Image covers 240 mm x 240 mm, Head, Axial view
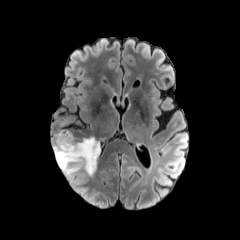
FLAIR magnetic resonance.
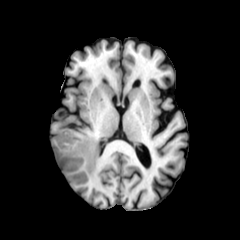
T1-weighted MR.
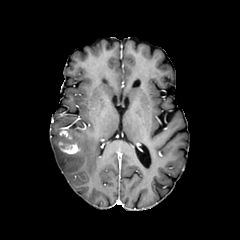
Post-contrast T1-weighted MR image of the same slice.
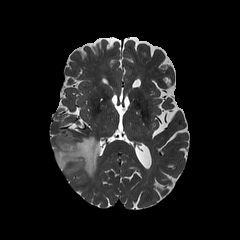
T2-weighted MRI.
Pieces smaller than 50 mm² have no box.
enhancing tumor: bounding box l=59, t=128, r=71, b=139; l=59, t=141, r=80, b=154
peritumoral edema: bounding box l=53, t=129, r=101, b=176